Brain. 240x240. Axial view.
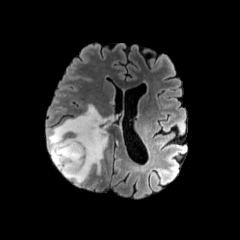
FLAIR MRI.
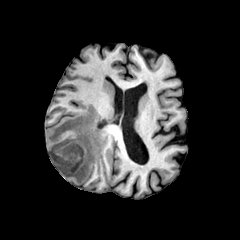
T1-weighted MR image.
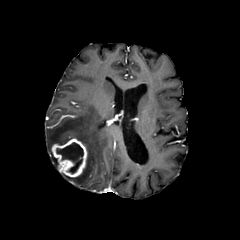
Post-contrast T1-weighted magnetic resonance.
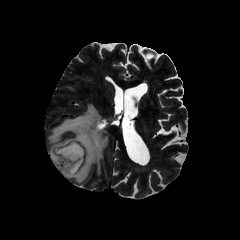
T2-weighted magnetic resonance of the same slice.
Findings:
• peritumoral edema: {"x1": 48, "y1": 105, "x2": 107, "y2": 183}
• necrotic tumor core: {"x1": 56, "y1": 142, "x2": 83, "y2": 173}
• enhancing tumor: {"x1": 51, "y1": 138, "x2": 87, "y2": 177}